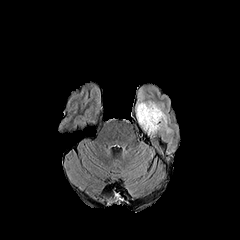
FLAIR MR.
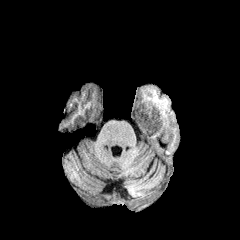
T1-weighted magnetic resonance of the same slice.
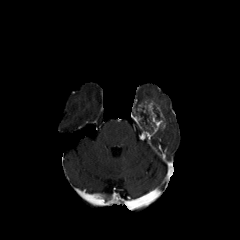
Same slice, post-contrast T1-weighted MR.
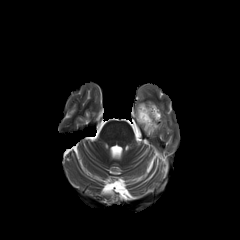
Same slice, T2-weighted MR image.
Axial view
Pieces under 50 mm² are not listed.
The 2 largest necrotic tumor core regions appear at (137, 109, 153, 133), (153, 105, 162, 120). The largest peritumoral edema region is bounded by (163, 113, 170, 132). The largest enhancing tumor region is at (137, 101, 165, 135).